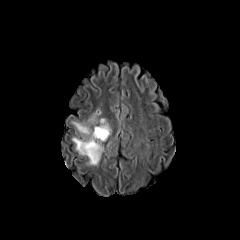
FLAIR MRI.
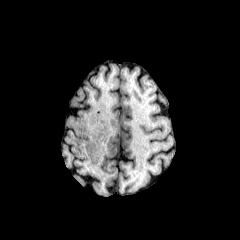
T1-weighted MRI.
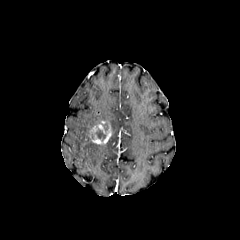
Post-contrast T1-weighted magnetic resonance.
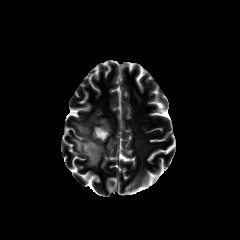
T2-weighted MR of the same slice.
Axial slice
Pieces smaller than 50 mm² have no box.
<segmentation>
  <enhancing_tumor>{"x1": 89, "y1": 120, "x2": 111, "y2": 144}</enhancing_tumor>
  <necrotic_tumor_core>{"x1": 95, "y1": 129, "x2": 106, "y2": 139}</necrotic_tumor_core>
  <peritumoral_edema>{"x1": 71, "y1": 109, "x2": 106, "y2": 165}</peritumoral_edema>
</segmentation>